Axial slice | Brain | Slice 98 of 155
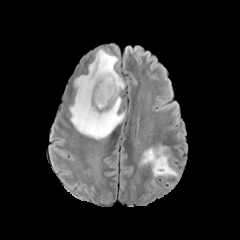
FLAIR MR image.
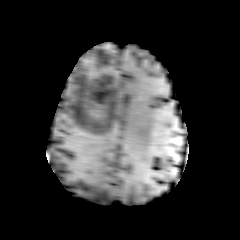
T1-weighted MRI of the same slice.
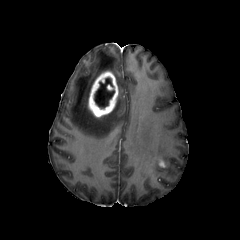
Post-contrast T1-weighted MR image of the same slice.
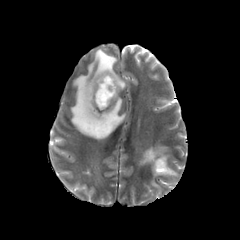
Same slice, T2-weighted MRI.
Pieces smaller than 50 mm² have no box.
The 2 largest peritumoral edema regions are located at x1=70, y1=49, x2=125, y2=139; x1=140, y1=145, x2=177, y2=176. 2 enhancing tumor regions appear at x1=158, y1=159, x2=165, y2=167; x1=87, y1=71, x2=118, y2=117. The necrotic tumor core is located at x1=94, y1=78, x2=114, y2=108.